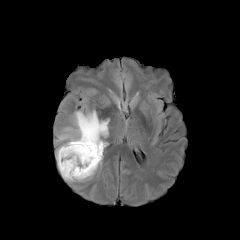
FLAIR MR image.
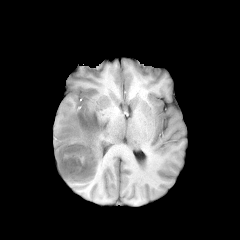
T1-weighted magnetic resonance.
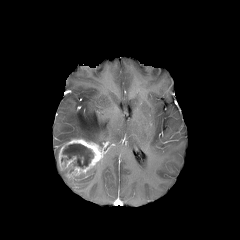
Post-contrast T1-weighted MR.
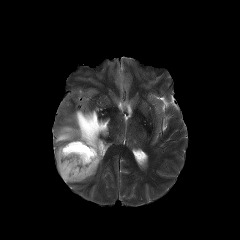
Same slice, T2-weighted MR.
Image size 240x240
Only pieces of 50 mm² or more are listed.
<segmentation>
  <enhancing_tumor>left=58, top=138, right=103, bottom=179</enhancing_tumor>
  <necrotic_tumor_core>left=61, top=144, right=93, bottom=167</necrotic_tumor_core>
  <peritumoral_edema>left=55, top=110, right=109, bottom=165; left=59, top=158, right=102, bottom=182</peritumoral_edema>
</segmentation>